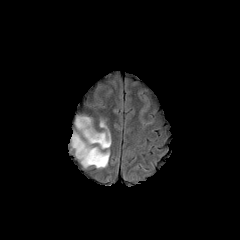
FLAIR MRI.
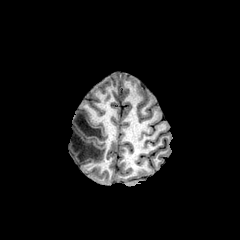
Same slice, T1-weighted magnetic resonance.
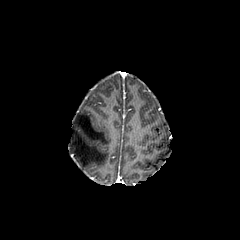
Post-contrast T1-weighted MR of the same slice.
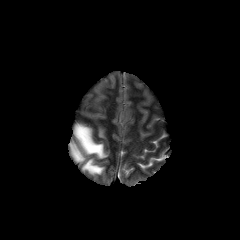
Same slice, T2-weighted MRI.
Axial plane, Image size 240x240
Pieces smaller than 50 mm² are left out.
The largest peritumoral edema region lies within box=[70, 117, 110, 169].